Axial slice, Head
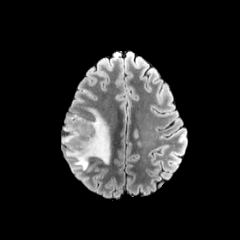
FLAIR MRI.
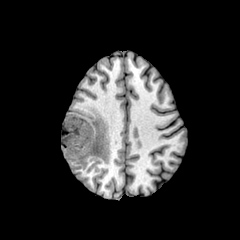
T1-weighted MR.
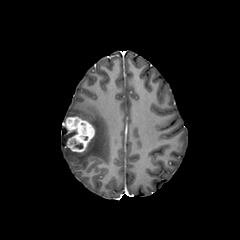
Same slice, post-contrast T1-weighted MR image.
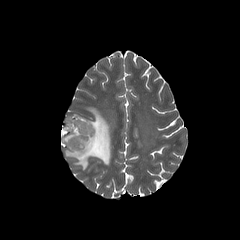
T2-weighted MR of the same slice.
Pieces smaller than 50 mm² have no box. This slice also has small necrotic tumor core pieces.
enhancing tumor: bounding box 64 116 94 153
peritumoral edema: bounding box 61 127 76 145, 64 107 110 169